Slice 96 of 155. Head.
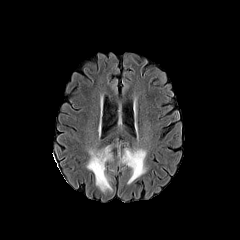
FLAIR MR.
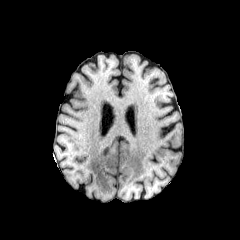
T1-weighted MR of the same slice.
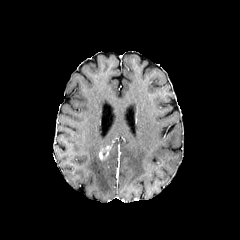
Post-contrast T1-weighted MRI.
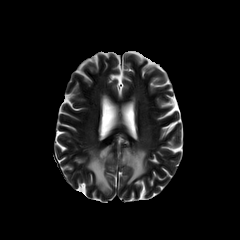
T2-weighted MR of the same slice.
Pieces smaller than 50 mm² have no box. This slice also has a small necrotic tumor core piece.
peritumoral edema at (120,147,146,184), (86,149,112,192)
enhancing tumor at (99,145,109,160)